Axial slice; Brain; Image covers 240 mm x 240 mm
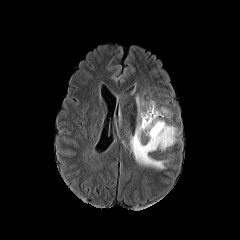
FLAIR MRI.
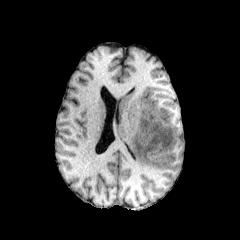
T1-weighted MR.
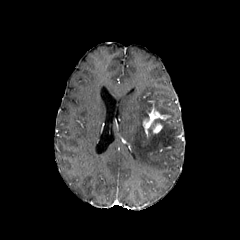
Same slice, post-contrast T1-weighted MR image.
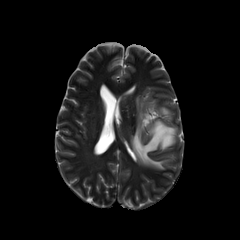
T2-weighted MRI.
peritumoral edema: bounding box left=130, top=96, right=177, bottom=169
enhancing tumor: bounding box left=143, top=104, right=163, bottom=133